Slice 99/155 | Image width 240 mm
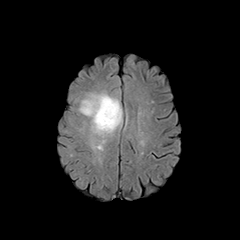
FLAIR magnetic resonance.
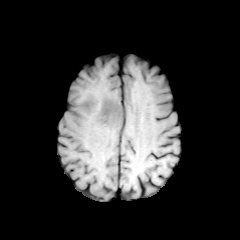
T1-weighted MR image of the same slice.
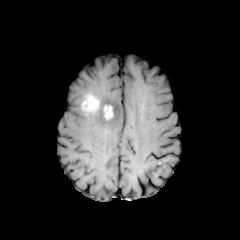
Post-contrast T1-weighted MR image of the same slice.
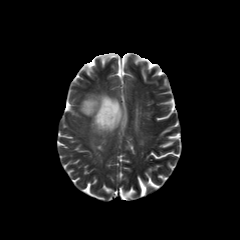
Same slice, T2-weighted MRI.
Annotated regions:
* enhancing tumor: l=81, t=95, r=99, b=112; l=103, t=105, r=113, b=120
* peritumoral edema: l=78, t=91, r=122, b=150